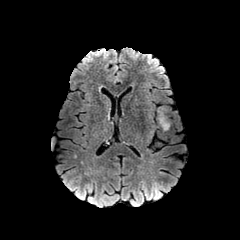
FLAIR magnetic resonance.
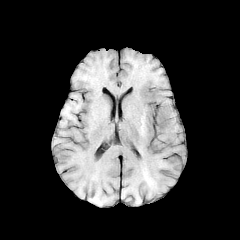
T1-weighted magnetic resonance.
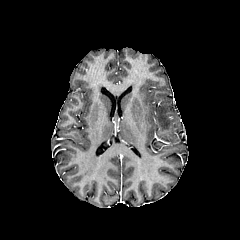
Post-contrast T1-weighted MR of the same slice.
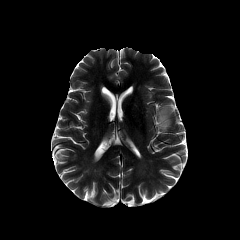
Same slice, T2-weighted MR image.
Axial slice; Image size 240x240; Head
The peritumoral edema lies within <bbox>158, 107, 169, 130</bbox>.